Slice index 112, 240x240
FLAIR MR image.
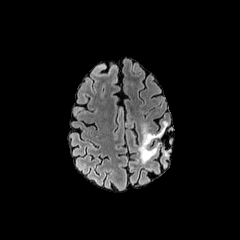
T1-weighted MRI.
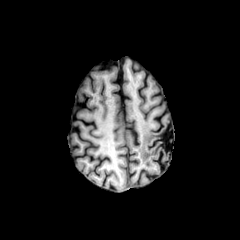
Post-contrast T1-weighted MR image.
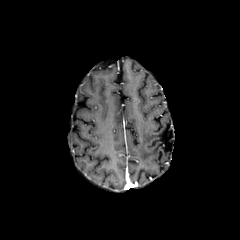
T2-weighted MR image.
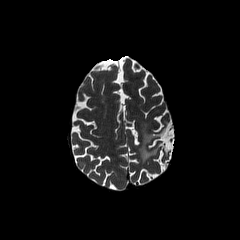
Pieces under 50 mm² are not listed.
The largest peritumoral edema region is located at bbox(138, 122, 166, 163).